FLAIR MR image.
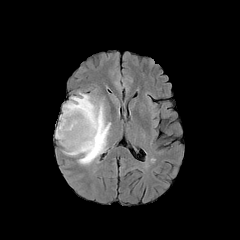
T1-weighted MR image.
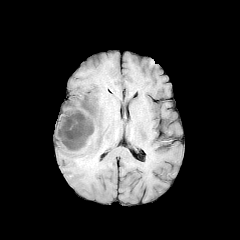
Post-contrast T1-weighted magnetic resonance.
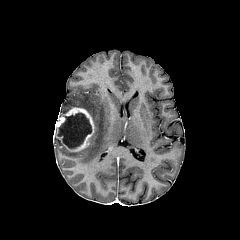
T2-weighted MRI.
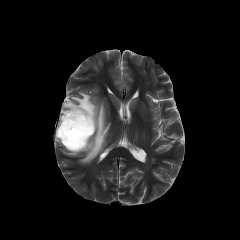
Head
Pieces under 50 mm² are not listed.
Segmented structures:
- enhancing tumor: box=[55, 107, 95, 151]
- peritumoral edema: box=[62, 92, 110, 164]
- necrotic tumor core: box=[56, 113, 91, 148]